FLAIR MR.
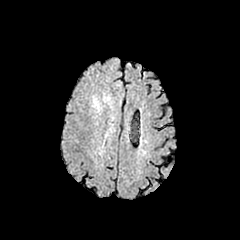
T1-weighted MRI.
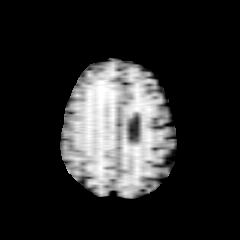
Post-contrast T1-weighted magnetic resonance.
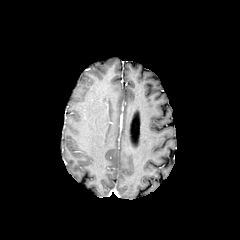
T2-weighted MRI.
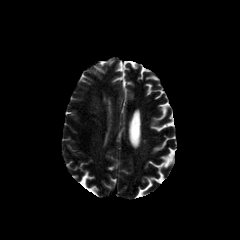
Axial slice. 240x240.
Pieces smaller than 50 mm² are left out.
peritumoral edema — rect(93, 99, 101, 113)